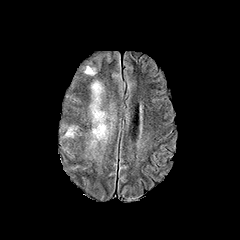
FLAIR MR image.
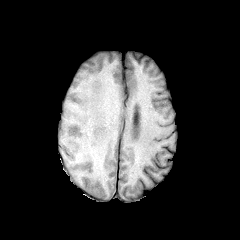
Same slice, T1-weighted MR image.
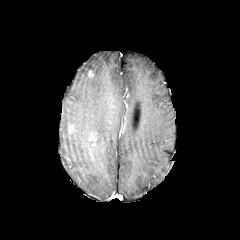
Same slice, post-contrast T1-weighted MRI.
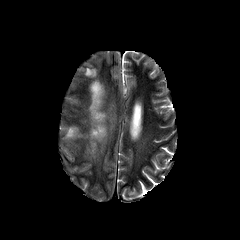
T2-weighted MRI of the same slice.
Axial plane, 240x240 px
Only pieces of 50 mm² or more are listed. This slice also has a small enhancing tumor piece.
The 3 largest peritumoral edema regions are bounded by (left=91, top=81, right=106, bottom=140), (left=65, top=126, right=75, bottom=137), (left=85, top=66, right=95, bottom=74).